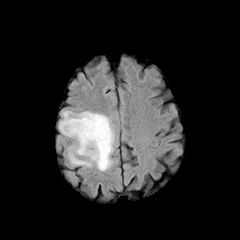
FLAIR magnetic resonance.
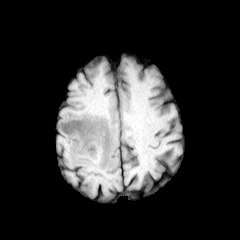
T1-weighted MRI.
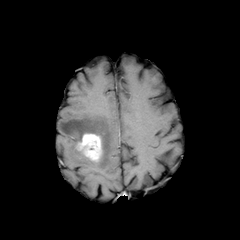
Same slice, post-contrast T1-weighted magnetic resonance.
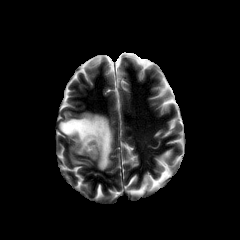
Same slice, T2-weighted MR.
Brain. Axial slice. 240x240 px.
enhancing tumor: bounding box l=76, t=133, r=102, b=161
peritumoral edema: bounding box l=58, t=111, r=114, b=170